Image size 240x240; Axial view; Image covers 240 mm x 240 mm; Brain
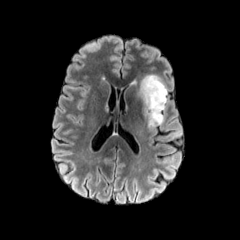
FLAIR MR image.
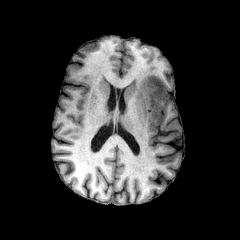
T1-weighted MR.
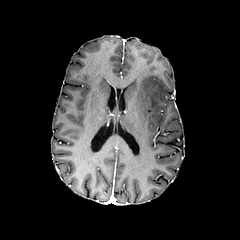
Post-contrast T1-weighted MR image.
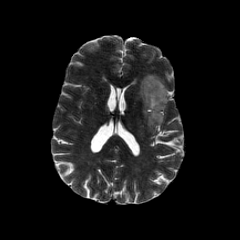
T2-weighted MRI.
<segmentation>
  <peritumoral_edema>(139, 74, 167, 130)</peritumoral_edema>
</segmentation>